Head; Axial slice
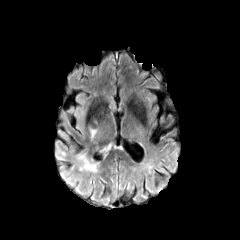
FLAIR MR image.
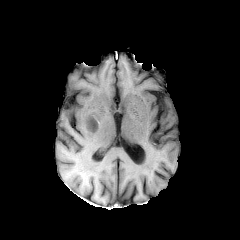
T1-weighted MR image of the same slice.
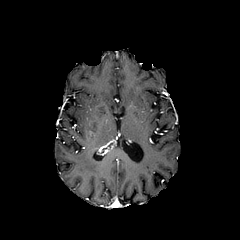
Post-contrast T1-weighted MRI of the same slice.
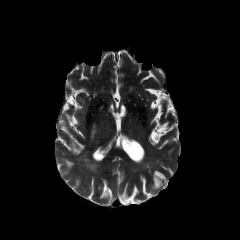
T2-weighted MRI of the same slice.
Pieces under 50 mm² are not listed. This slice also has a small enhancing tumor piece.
peritumoral edema: [x1=78, y1=153, x2=97, y2=172]